Axial plane | Image size 240x240
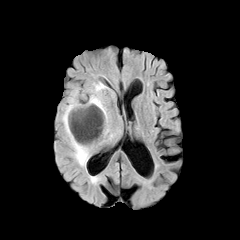
FLAIR magnetic resonance.
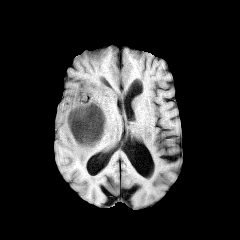
T1-weighted MR image of the same slice.
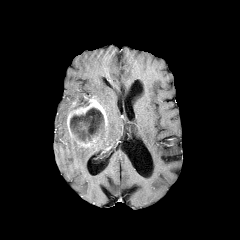
Post-contrast T1-weighted magnetic resonance.
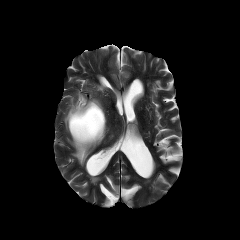
T2-weighted MR of the same slice.
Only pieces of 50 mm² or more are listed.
Findings:
- peritumoral edema: (89,83,107,119), (62,91,109,165)
- enhancing tumor: (67,96,107,147)
- necrotic tumor core: (71,101,89,109), (70,108,104,142)